Axial view, 240x240 px, Brain
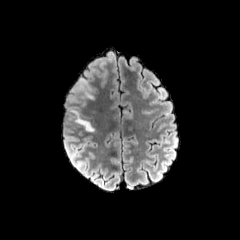
FLAIR MR image.
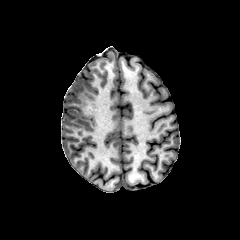
T1-weighted MR.
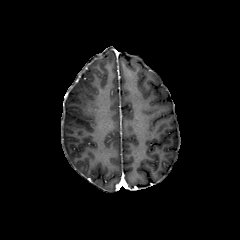
Same slice, post-contrast T1-weighted MR image.
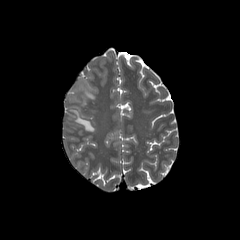
T2-weighted MRI of the same slice.
Findings:
* peritumoral edema: {"x1": 67, "y1": 78, "x2": 94, "y2": 106}, {"x1": 67, "y1": 106, "x2": 94, "y2": 131}